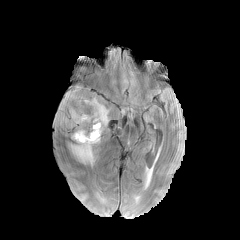
FLAIR MRI.
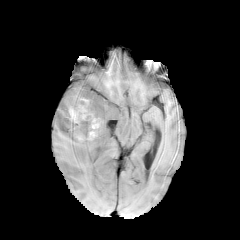
Same slice, T1-weighted MR.
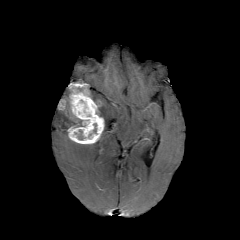
Post-contrast T1-weighted MR image of the same slice.
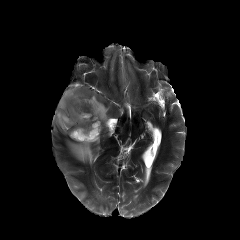
T2-weighted MRI.
Brain; 240x240
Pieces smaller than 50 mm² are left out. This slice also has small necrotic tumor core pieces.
The 3 largest peritumoral edema regions are located at (x1=56, y1=89, x2=81, y2=128), (x1=98, y1=103, x2=109, y2=126), (x1=69, y1=138, x2=100, y2=164). 2 enhancing tumor regions are bounded by (x1=67, y1=82, x2=104, y2=144), (x1=59, y1=99, x2=66, y2=110).